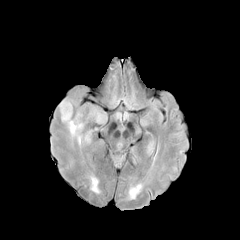
FLAIR MR.
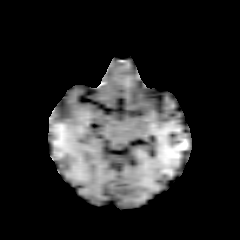
Same slice, T1-weighted MR image.
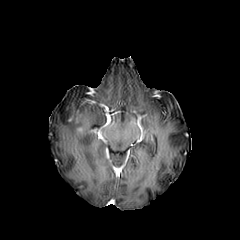
Post-contrast T1-weighted MRI of the same slice.
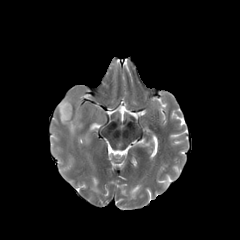
T2-weighted MRI of the same slice.
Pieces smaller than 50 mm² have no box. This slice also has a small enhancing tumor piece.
peritumoral_edema:
  - 58,100,83,144